FLAIR MRI.
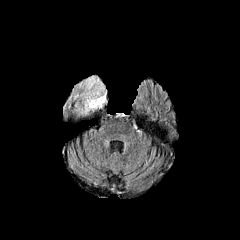
T1-weighted MR.
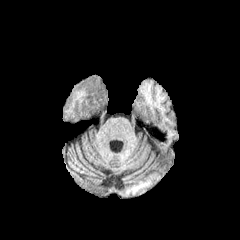
Post-contrast T1-weighted magnetic resonance.
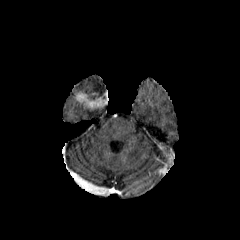
T2-weighted MR image.
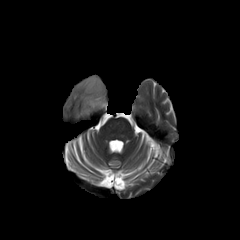
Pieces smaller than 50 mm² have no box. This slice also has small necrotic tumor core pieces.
<segmentation>
  <peritumoral_edema>l=78, t=76, r=106, b=97</peritumoral_edema>
  <enhancing_tumor>l=75, t=92, r=107, b=109</enhancing_tumor>
</segmentation>